FLAIR magnetic resonance.
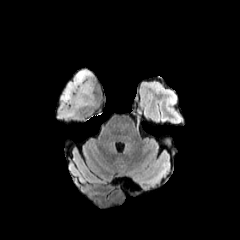
T1-weighted MR image.
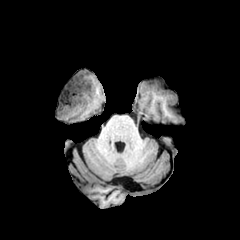
Post-contrast T1-weighted MRI.
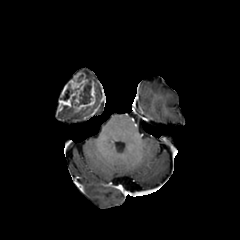
T2-weighted magnetic resonance.
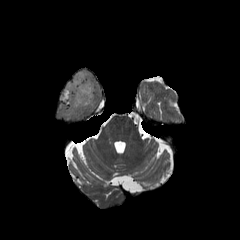
Brain
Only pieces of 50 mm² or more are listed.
The 2 largest necrotic tumor core regions appear at x1=78, y1=80, x2=91, y2=105; x1=60, y1=88, x2=72, y2=100. The enhancing tumor lies within x1=57, y1=72, x2=95, y2=113. The 2 largest peritumoral edema regions are located at x1=59, y1=106, x2=74, y2=117; x1=80, y1=70, x2=92, y2=79.